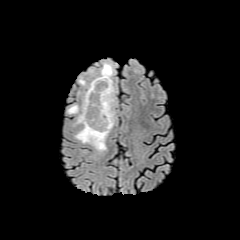
FLAIR MRI.
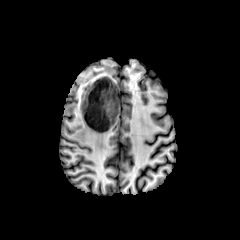
T1-weighted magnetic resonance.
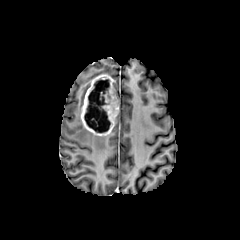
Post-contrast T1-weighted magnetic resonance of the same slice.
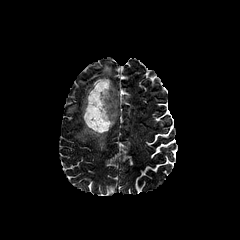
Same slice, T2-weighted MR image.
Axial slice; Brain
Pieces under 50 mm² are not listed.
• enhancing tumor: x1=81 y1=74 x2=118 y2=135
• necrotic tumor core: x1=84 y1=79 x2=110 y2=132
• peritumoral edema: x1=79 y1=79 x2=90 y2=89, x1=67 y1=104 x2=82 y2=124, x1=75 y1=126 x2=107 y2=151, x1=98 y1=62 x2=114 y2=77